FLAIR MRI.
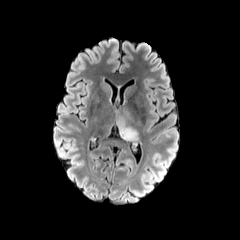
T1-weighted magnetic resonance.
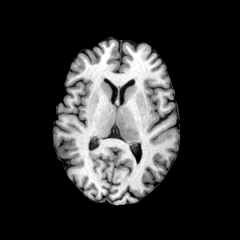
Post-contrast T1-weighted MR.
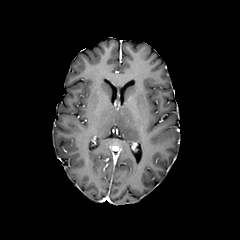
T2-weighted magnetic resonance.
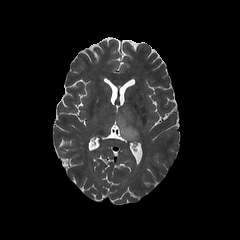
Axial plane
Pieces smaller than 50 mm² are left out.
The largest peritumoral edema region lies within 116, 107, 138, 140.